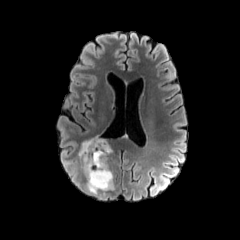
FLAIR MR image.
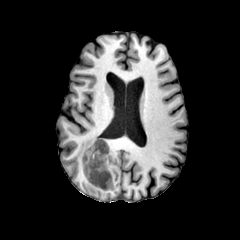
Same slice, T1-weighted MRI.
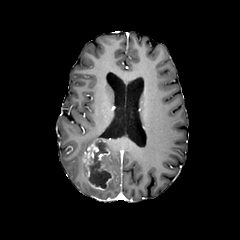
Post-contrast T1-weighted MRI of the same slice.
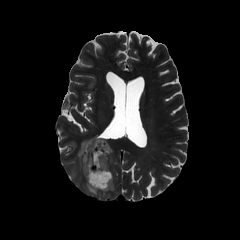
Same slice, T2-weighted MR.
Axial view | Head
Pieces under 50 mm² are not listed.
Findings:
• peritumoral edema: {"x1": 87, "y1": 183, "x2": 100, "y2": 195}, {"x1": 102, "y1": 179, "x2": 114, "y2": 195}, {"x1": 78, "y1": 137, "x2": 99, "y2": 163}
• enhancing tumor: {"x1": 82, "y1": 139, "x2": 112, "y2": 190}
• necrotic tumor core: {"x1": 89, "y1": 141, "x2": 110, "y2": 188}